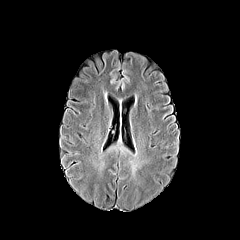
FLAIR MR image.
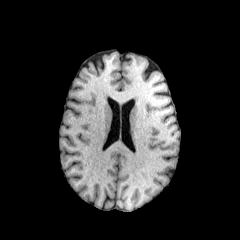
T1-weighted magnetic resonance of the same slice.
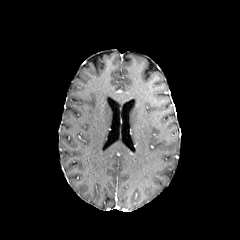
Post-contrast T1-weighted magnetic resonance.
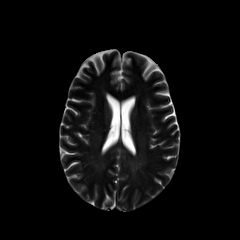
Same slice, T2-weighted MR.
240x240. Head. Axial view.
peritumoral edema at [x1=130, y1=159, x2=139, y2=173]